Image covers 240 mm x 240 mm, Slice 37 of 155, Axial slice
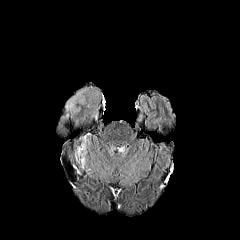
FLAIR MR.
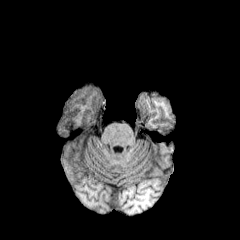
Same slice, T1-weighted MR.
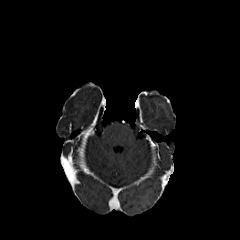
Same slice, post-contrast T1-weighted MR.
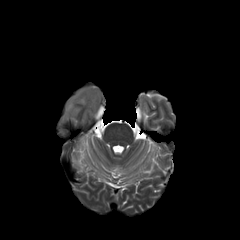
T2-weighted magnetic resonance of the same slice.
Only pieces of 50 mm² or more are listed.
{"peritumoral_edema": ["66, 88, 88, 114", "88, 90, 99, 102"]}